FLAIR MR image.
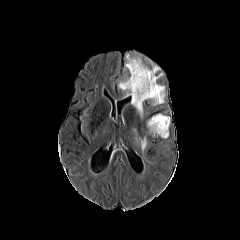
T1-weighted MR.
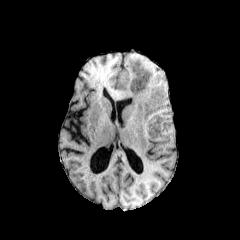
Post-contrast T1-weighted magnetic resonance.
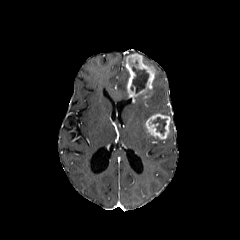
T2-weighted MRI.
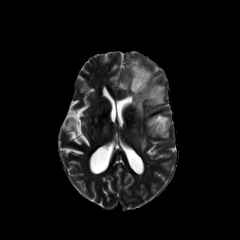
Head. Axial view.
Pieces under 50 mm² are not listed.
The 3 largest peritumoral edema regions appear at <box>131,73,165,118</box>, <box>118,73,128,97</box>, <box>139,137,146,151</box>. 2 enhancing tumor regions appear at <box>145,113,170,139</box>, <box>126,53,155,102</box>. The 2 largest necrotic tumor core regions appear at <box>152,117,167,134</box>, <box>132,66,148,93</box>.